Axial plane | Image width 240 mm, 1.00 mm slice spacing | Slice 95/155
FLAIR magnetic resonance.
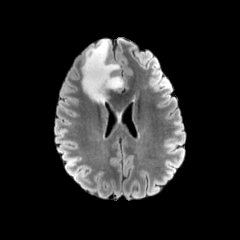
T1-weighted MRI.
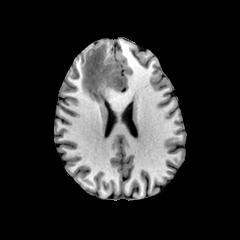
Post-contrast T1-weighted MR image.
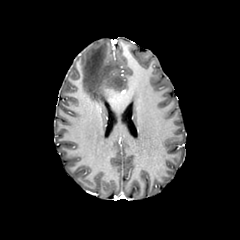
T2-weighted MR.
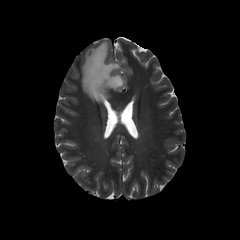
• peritumoral edema: (left=82, top=39, right=123, bottom=103)